Image size 240x240
FLAIR magnetic resonance.
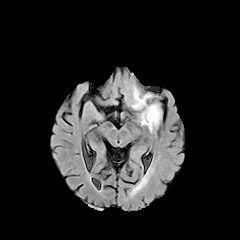
T1-weighted MR.
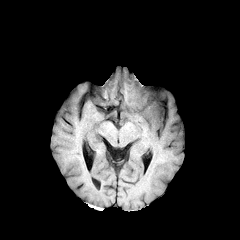
Post-contrast T1-weighted magnetic resonance.
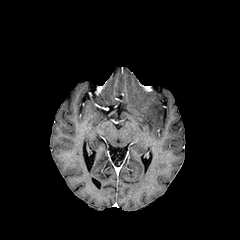
T2-weighted magnetic resonance.
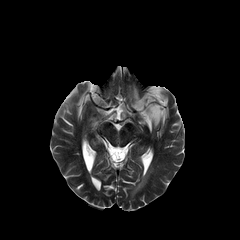
peritumoral_edema:
  - [x1=141, y1=104, x2=161, y2=131]
  - [x1=132, y1=89, x2=150, y2=109]